FLAIR MR image.
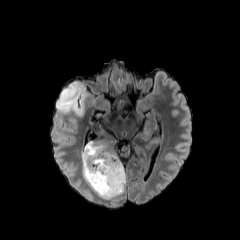
T1-weighted magnetic resonance.
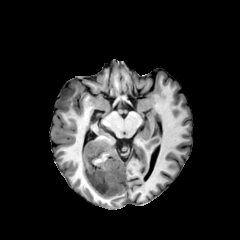
Post-contrast T1-weighted MR image.
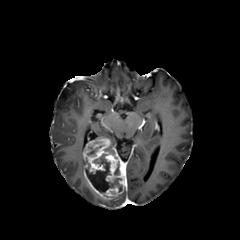
T2-weighted MRI.
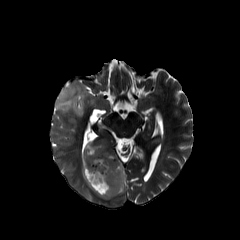
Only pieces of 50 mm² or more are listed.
enhancing tumor: box=[83, 138, 126, 199] | peritumoral edema: box=[56, 81, 87, 115]; box=[83, 189, 93, 200] | necrotic tumor core: box=[86, 154, 122, 192]